FLAIR MR image.
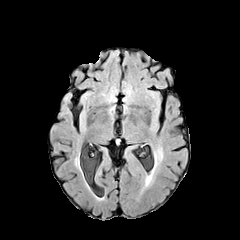
T1-weighted MR image.
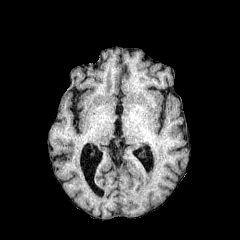
Post-contrast T1-weighted MR.
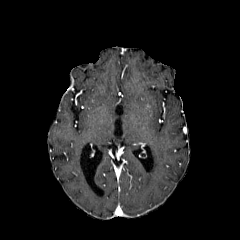
T2-weighted MRI.
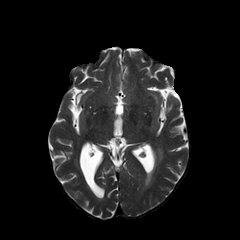
Axial plane | Head
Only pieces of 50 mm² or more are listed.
peritumoral edema at 145, 168, 154, 186